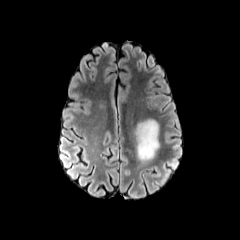
FLAIR MR.
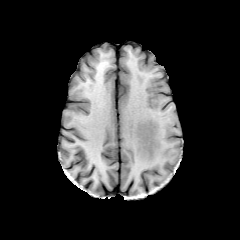
Same slice, T1-weighted magnetic resonance.
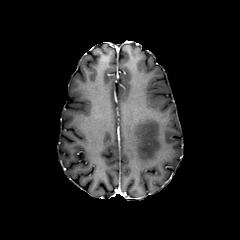
Post-contrast T1-weighted MR.
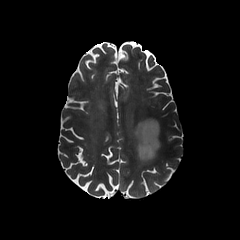
T2-weighted MRI of the same slice.
Axial slice; Head
peritumoral edema: bounding box (left=134, top=119, right=159, bottom=167)